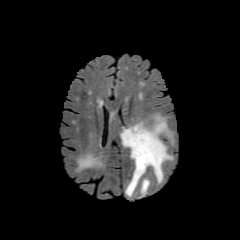
FLAIR magnetic resonance.
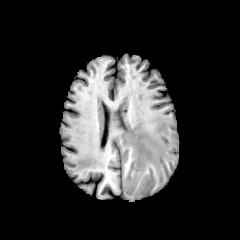
T1-weighted MR.
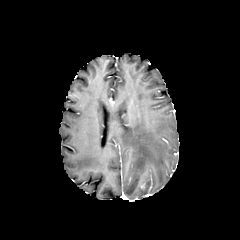
Post-contrast T1-weighted magnetic resonance.
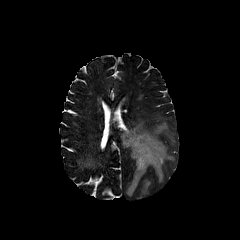
T2-weighted MR image.
Axial view. Head.
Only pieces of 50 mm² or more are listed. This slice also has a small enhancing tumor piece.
The peritumoral edema lies within box=[120, 115, 173, 196].